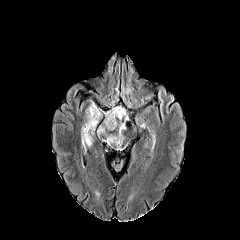
FLAIR MR.
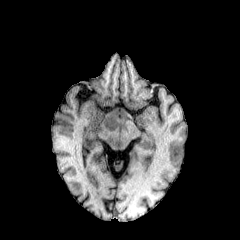
T1-weighted magnetic resonance.
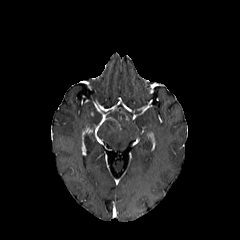
Same slice, post-contrast T1-weighted MRI.
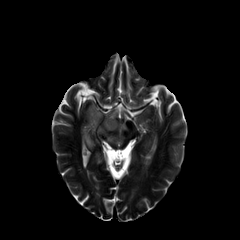
Same slice, T2-weighted magnetic resonance.
240x240; Axial slice
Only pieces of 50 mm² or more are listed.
• necrotic tumor core: (x1=104, y1=120, x2=116, y2=129)
• peritumoral edema: (x1=82, y1=103, x2=102, y2=146), (x1=97, y1=108, x2=126, y2=148)
• enhancing tumor: (x1=102, y1=118, x2=119, y2=129)